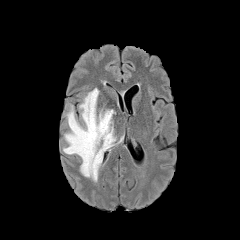
FLAIR MR image.
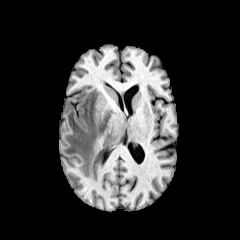
T1-weighted MRI of the same slice.
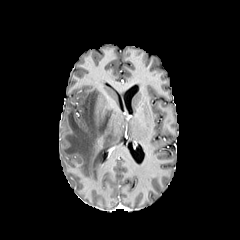
Post-contrast T1-weighted MR.
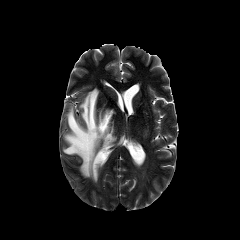
T2-weighted MRI.
Head
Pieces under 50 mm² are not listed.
peritumoral edema: rect(63, 88, 116, 181)